Axial slice, Brain, Slice 98 of 155
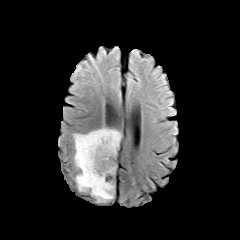
FLAIR MR image.
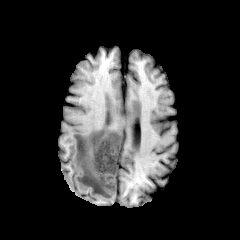
T1-weighted MRI of the same slice.
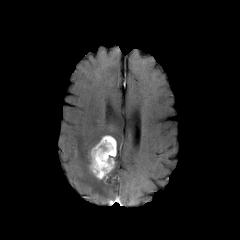
Post-contrast T1-weighted MR of the same slice.
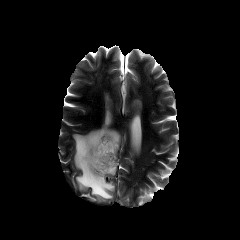
T2-weighted MRI.
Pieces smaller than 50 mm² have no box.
The enhancing tumor appears at 89, 135, 116, 179. The largest peritumoral edema region appears at 73, 127, 121, 202.